FLAIR MR image.
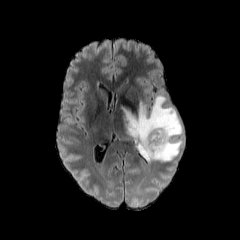
T1-weighted MR image.
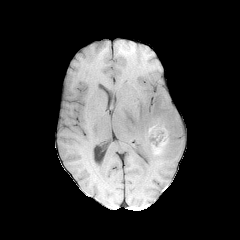
Post-contrast T1-weighted MR.
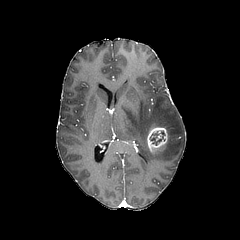
T2-weighted MR image.
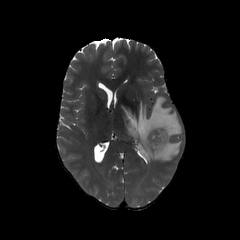
Axial slice; Head
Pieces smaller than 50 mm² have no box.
enhancing tumor at (x1=146, y1=126, x2=167, y2=152)
peritumoral edema at (x1=124, y1=95, x2=183, y2=161)
necrotic tumor core at (x1=150, y1=131, x2=161, y2=145)